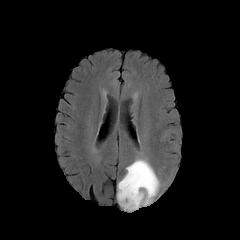
FLAIR MR image.
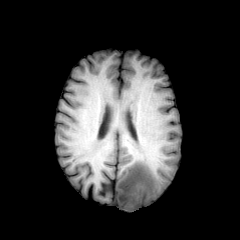
T1-weighted MR.
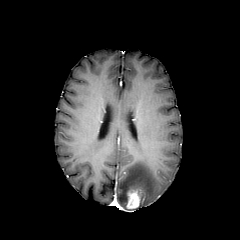
Post-contrast T1-weighted magnetic resonance.
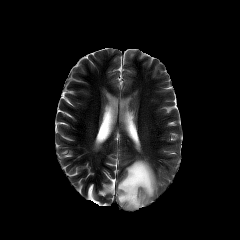
T2-weighted MR.
Brain; Axial slice
peritumoral edema: left=117, top=159, right=159, bottom=210
enhancing tumor: left=127, top=190, right=140, bottom=208